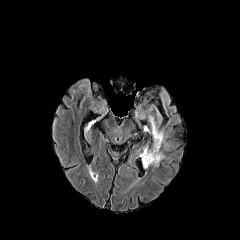
FLAIR MR image.
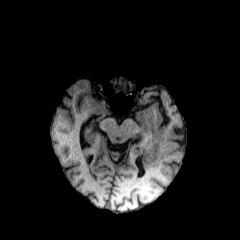
T1-weighted magnetic resonance of the same slice.
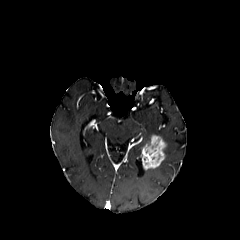
Post-contrast T1-weighted MR.
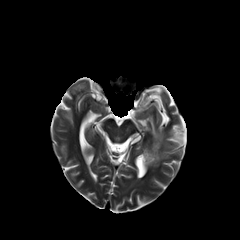
Same slice, T2-weighted magnetic resonance.
Axial slice; Head
The peritumoral edema lies within [144,116,163,139]. The enhancing tumor is at [141,135,166,169].